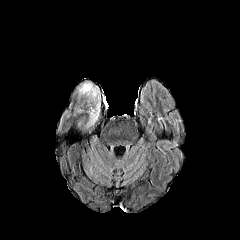
FLAIR MR image.
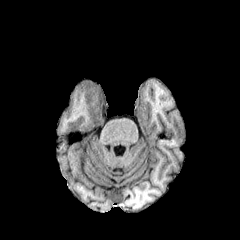
T1-weighted MR.
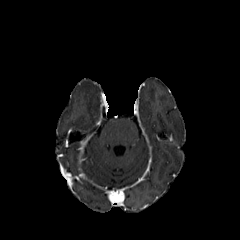
Post-contrast T1-weighted MRI of the same slice.
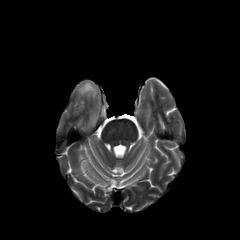
T2-weighted MR.
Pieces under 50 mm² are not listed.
The largest peritumoral edema region appears at {"x1": 78, "y1": 82, "x2": 100, "y2": 123}.